FLAIR magnetic resonance.
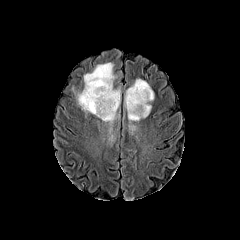
T1-weighted MRI.
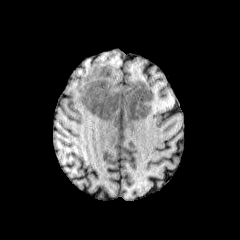
Post-contrast T1-weighted magnetic resonance.
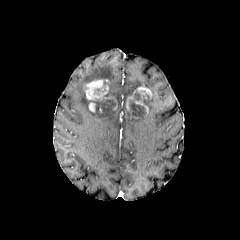
T2-weighted MR image.
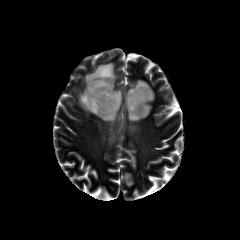
Axial slice. Image size 240x240.
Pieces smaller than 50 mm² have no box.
peritumoral_edema:
  - x1=124, y1=79, x2=154, y2=133
  - x1=77, y1=63, x2=120, y2=136
necrotic_tumor_core:
  - x1=88, y1=91, x2=117, y2=112
  - x1=129, y1=88, x2=150, y2=115
enhancing_tumor:
  - x1=85, y1=80, x2=108, y2=100
  - x1=89, y1=102, x2=95, y2=112
  - x1=137, y1=84, x2=152, y2=98